240x240 | Image width 240 mm, 1.00 mm slice spacing
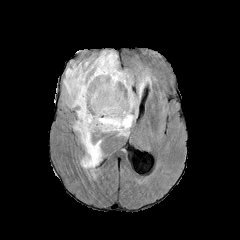
FLAIR MRI.
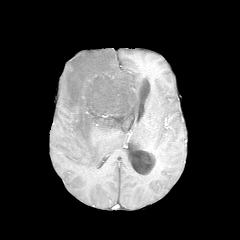
T1-weighted MR image of the same slice.
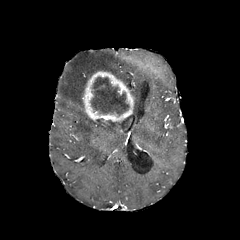
Same slice, post-contrast T1-weighted MRI.
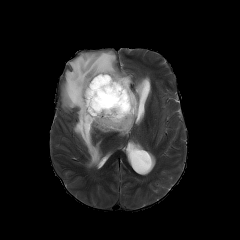
T2-weighted MRI.
Findings:
• enhancing tumor: 82,71,134,123
• peritumoral edema: 62,50,149,168
• necrotic tumor core: 91,77,128,115